Image size 240x240, Brain, Slice 74 of 155
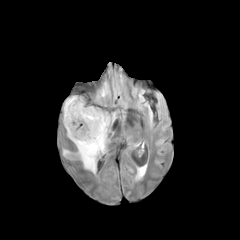
FLAIR magnetic resonance.
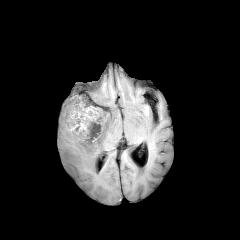
T1-weighted magnetic resonance.
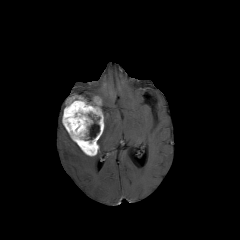
Same slice, post-contrast T1-weighted MR.
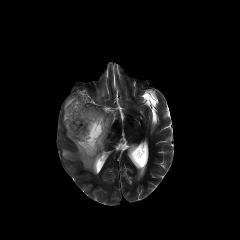
T2-weighted MRI.
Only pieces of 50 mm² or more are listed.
enhancing tumor: bbox(62, 95, 104, 156)
necrotic tumor core: bbox(88, 114, 99, 139)
peritumoral edema: bbox(97, 83, 108, 97); bbox(75, 113, 115, 173); bbox(63, 149, 71, 158)